FLAIR MR.
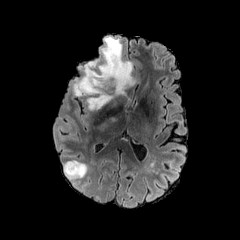
T1-weighted magnetic resonance.
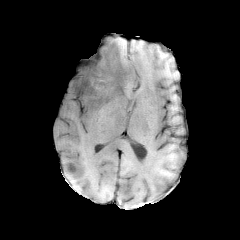
Post-contrast T1-weighted MR.
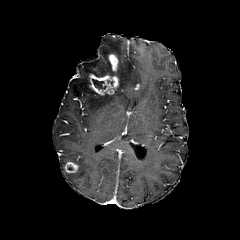
T2-weighted MR image.
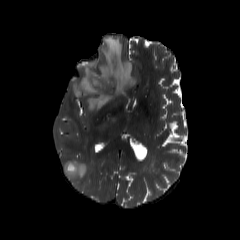
Brain.
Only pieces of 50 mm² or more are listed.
enhancing tumor at (85,53,119,95), (65,162,77,174)
necrotic tumor core at (92,79,106,89)
peritumoral edema at (71,36,135,110), (64,159,85,178)